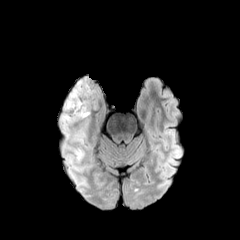
FLAIR MRI.
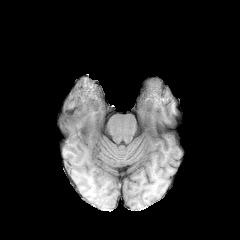
T1-weighted magnetic resonance of the same slice.
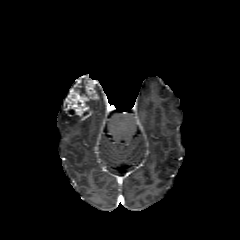
Post-contrast T1-weighted MRI.
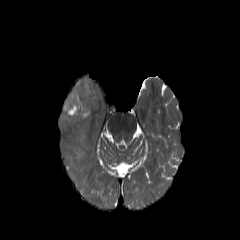
T2-weighted MR image of the same slice.
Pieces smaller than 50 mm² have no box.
The enhancing tumor is at x1=64, y1=80, x2=98, y2=119. The largest necrotic tumor core region is at x1=75, y1=86, x2=89, y2=97. The largest peritumoral edema region is located at x1=61, y1=114, x2=79, y2=124.